240x240 px, Brain, Axial slice, Slice 105/155
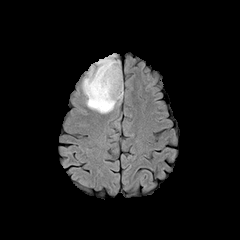
FLAIR MRI.
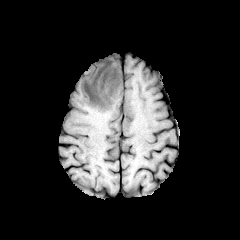
T1-weighted MRI of the same slice.
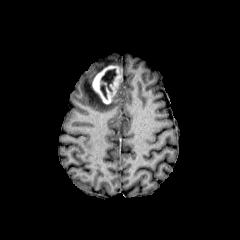
Post-contrast T1-weighted MRI.
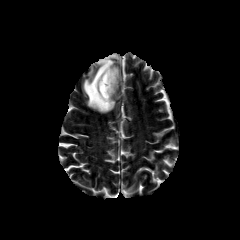
T2-weighted MRI of the same slice.
The necrotic tumor core is located at {"x1": 100, "y1": 69, "x2": 116, "y2": 100}. The enhancing tumor lies within {"x1": 92, "y1": 65, "x2": 121, "y2": 104}. The peritumoral edema is at {"x1": 82, "y1": 53, "x2": 123, "y2": 113}.